Axial view
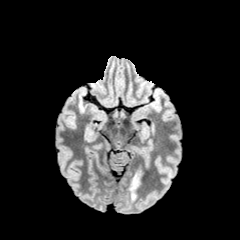
FLAIR magnetic resonance.
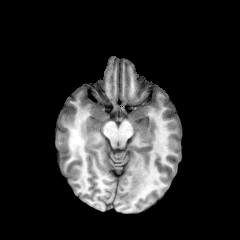
T1-weighted MR image of the same slice.
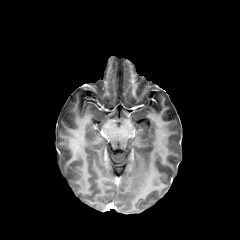
Same slice, post-contrast T1-weighted magnetic resonance.
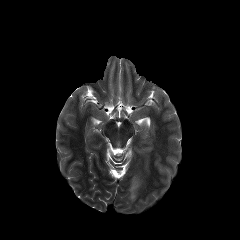
T2-weighted magnetic resonance.
Segmented structures:
- peritumoral edema: (129,176,139,199)